Slice index 100 | Image size 240x240
FLAIR MR image.
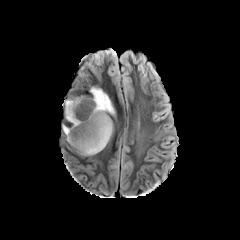
T1-weighted MR.
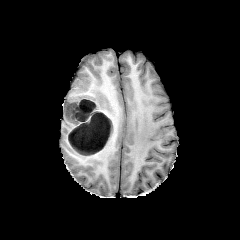
Post-contrast T1-weighted magnetic resonance.
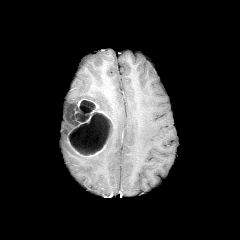
T2-weighted MR image.
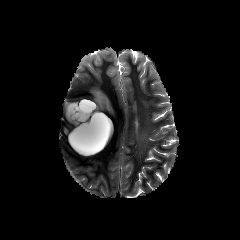
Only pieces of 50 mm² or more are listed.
peritumoral edema — bbox(90, 87, 114, 114)
enhancing tumor — bbox(63, 94, 113, 156)
necrotic tumor core — bbox(65, 103, 77, 123); bbox(69, 113, 110, 154); bbox(80, 106, 90, 112); bbox(76, 112, 87, 121); bbox(80, 100, 95, 108)